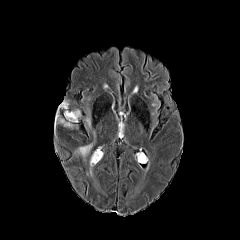
FLAIR MR.
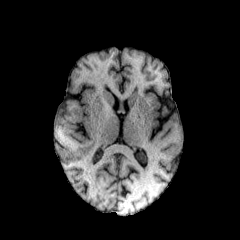
T1-weighted MR image of the same slice.
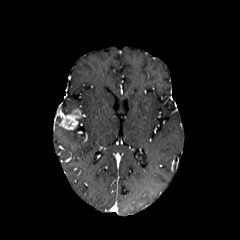
Post-contrast T1-weighted MR image.
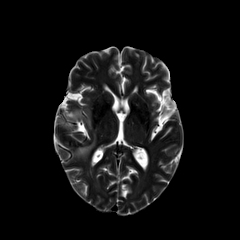
T2-weighted MR image of the same slice.
Brain | Axial plane
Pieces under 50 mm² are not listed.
Annotated regions:
• peritumoral edema: rect(77, 144, 92, 156); rect(63, 102, 71, 114)
• enhancing tumor: rect(61, 109, 81, 128)